240x240 px, Axial view
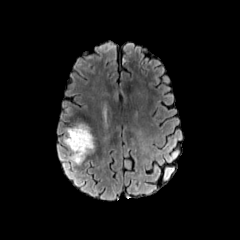
FLAIR MRI.
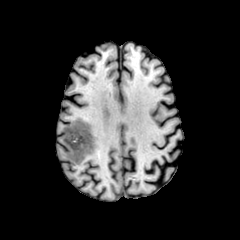
T1-weighted MR of the same slice.
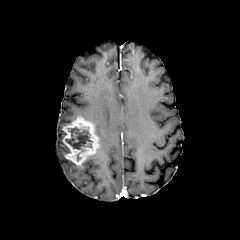
Post-contrast T1-weighted MR of the same slice.
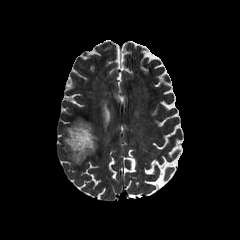
T2-weighted magnetic resonance.
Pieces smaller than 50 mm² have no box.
necrotic tumor core at {"x1": 65, "y1": 127, "x2": 92, "y2": 151}
enhancing tumor at {"x1": 62, "y1": 117, "x2": 98, "y2": 165}